FLAIR magnetic resonance.
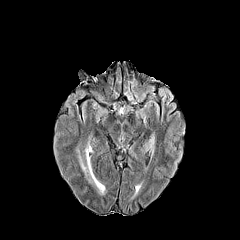
T1-weighted magnetic resonance.
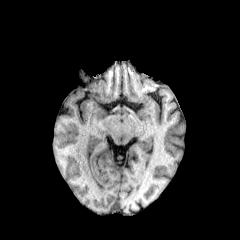
Post-contrast T1-weighted magnetic resonance.
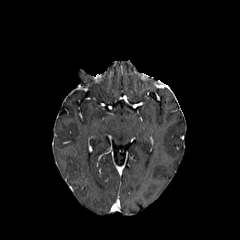
T2-weighted magnetic resonance.
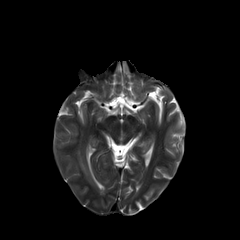
Axial slice
{"peritumoral_edema": ["79 148 105 194"]}